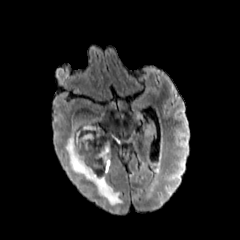
FLAIR MR.
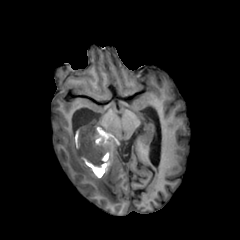
T1-weighted MR image of the same slice.
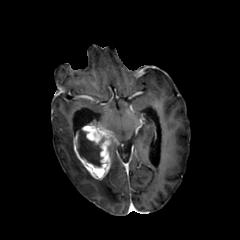
Post-contrast T1-weighted magnetic resonance.
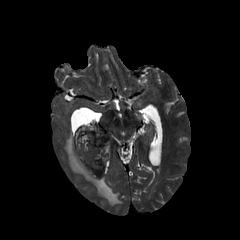
T2-weighted MRI of the same slice.
Axial view | Brain
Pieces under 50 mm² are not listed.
peritumoral_edema:
  - 65,126,122,205
enhancing_tumor:
  - 73,123,110,179
necrotic_tumor_core:
  - 77,130,102,167